FLAIR MR image.
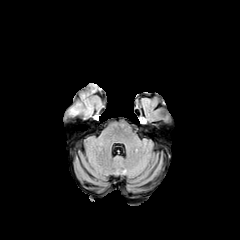
T1-weighted MR image.
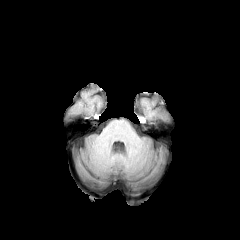
Post-contrast T1-weighted MR.
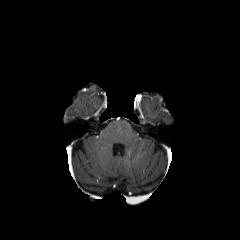
T2-weighted MRI.
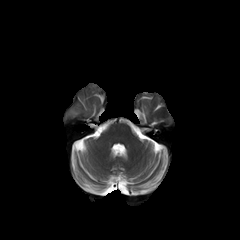
Head; 240x240 px
The peritumoral edema is located at [x1=66, y1=83, x2=101, y2=117].